Head | 240x240 px
FLAIR MR.
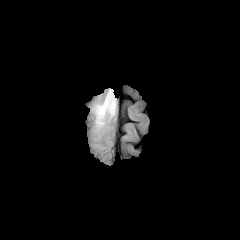
T1-weighted MRI.
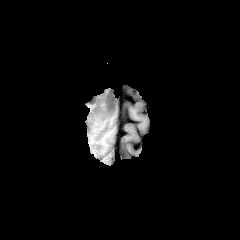
Post-contrast T1-weighted magnetic resonance.
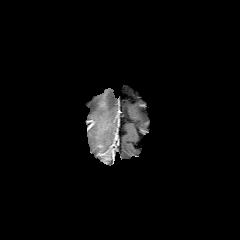
T2-weighted MRI.
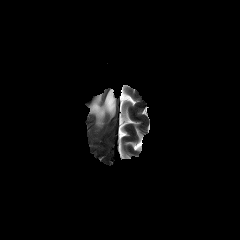
<segmentation>
  <peritumoral_edema>l=92, t=89, r=116, b=126</peritumoral_edema>
</segmentation>